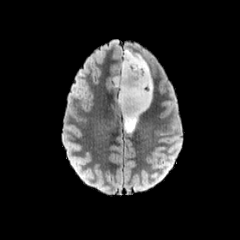
FLAIR MR image.
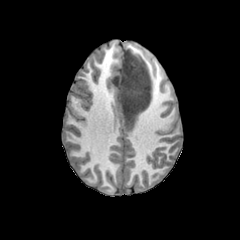
T1-weighted MR.
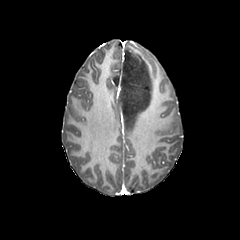
Post-contrast T1-weighted MR.
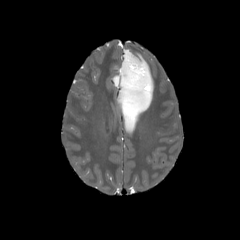
T2-weighted magnetic resonance.
240x240 px; Head; Axial view
The peritumoral edema is at box=[113, 50, 152, 132].